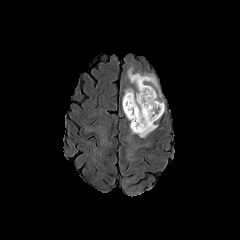
FLAIR MRI.
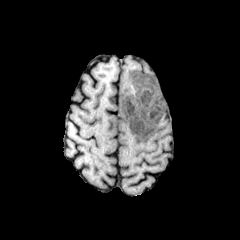
T1-weighted magnetic resonance.
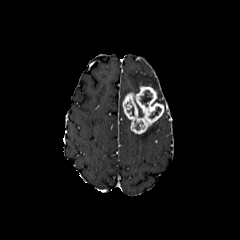
Post-contrast T1-weighted MR.
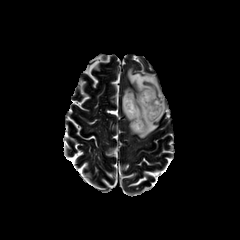
Same slice, T2-weighted MR image.
Axial slice
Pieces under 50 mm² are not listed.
<segmentation>
  <enhancing_tumor><box>122,85,164,134</box></enhancing_tumor>
  <necrotic_tumor_core><box>150,107,160,118</box>, <box>141,90,151,103</box></necrotic_tumor_core>
  <peritumoral_edema><box>138,123,158,137</box>, <box>122,67,164,105</box></peritumoral_edema>
</segmentation>